Image width 240 mm, 1.00 mm slice spacing. Brain.
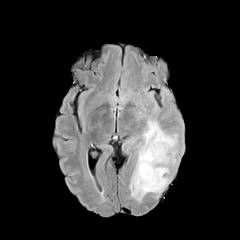
FLAIR MR image.
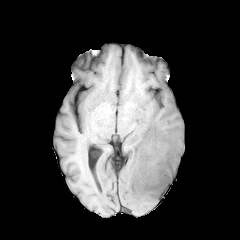
T1-weighted MRI.
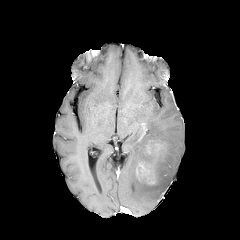
Post-contrast T1-weighted MR image.
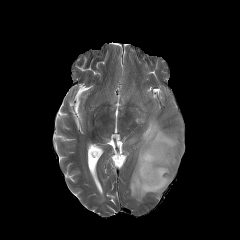
T2-weighted MR image.
• enhancing tumor: (left=136, top=162, right=156, bottom=184)
• peritumoral edema: (left=130, top=118, right=178, bottom=202)